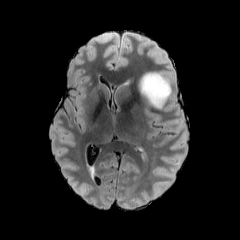
FLAIR MRI.
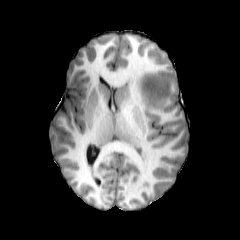
T1-weighted magnetic resonance of the same slice.
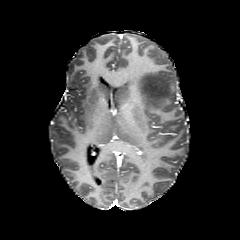
Post-contrast T1-weighted MR.
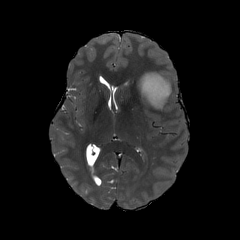
T2-weighted MRI of the same slice.
Head
The peritumoral edema is at x1=138 y1=72 x2=174 y2=109.